FLAIR MR image.
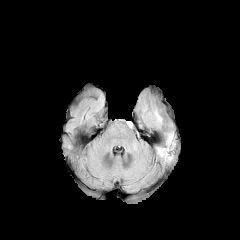
T1-weighted MR.
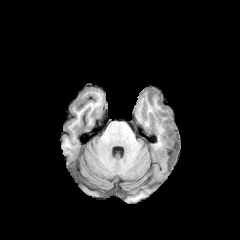
Post-contrast T1-weighted magnetic resonance.
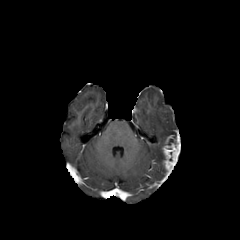
T2-weighted magnetic resonance.
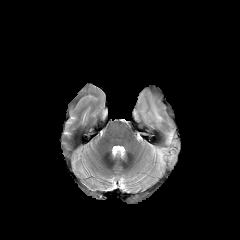
Axial plane.
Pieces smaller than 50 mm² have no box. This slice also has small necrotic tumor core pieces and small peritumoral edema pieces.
enhancing tumor: bounding box box(162, 138, 180, 169)